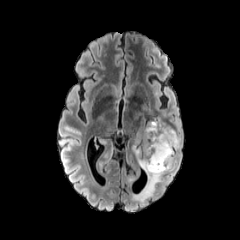
FLAIR MRI.
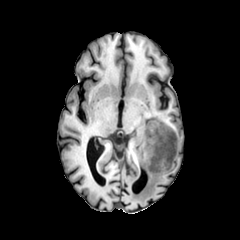
T1-weighted MR of the same slice.
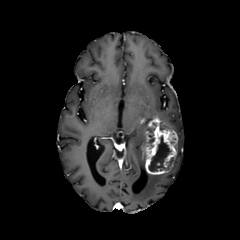
Same slice, post-contrast T1-weighted magnetic resonance.
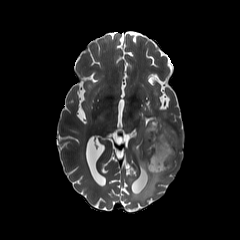
T2-weighted MR image of the same slice.
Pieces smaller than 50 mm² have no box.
- enhancing tumor: [143,117,178,175]
- necrotic tumor core: [148,136,170,171], [148,127,154,143]
- peritumoral edema: [171,130,182,169], [131,143,145,171], [132,172,163,204]